FLAIR MRI.
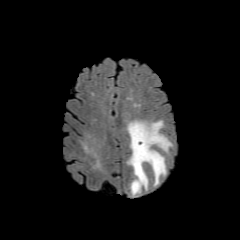
T1-weighted MR.
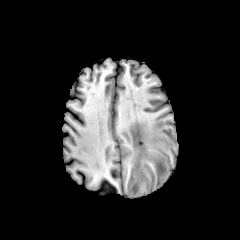
Post-contrast T1-weighted MRI.
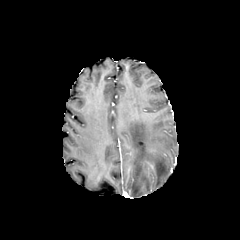
T2-weighted MRI.
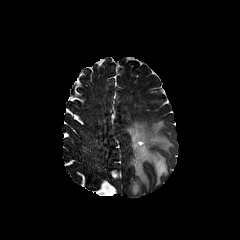
peritumoral edema: x1=126 y1=120 x2=172 y2=195